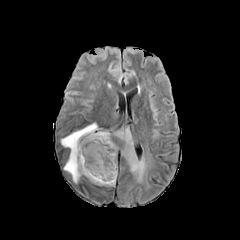
FLAIR MR image.
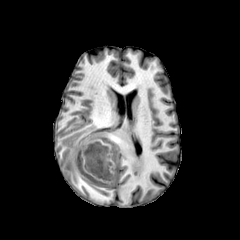
T1-weighted MR.
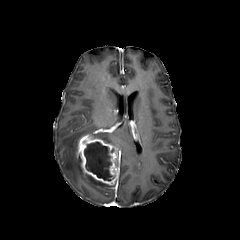
Post-contrast T1-weighted MR image.
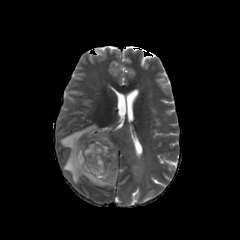
T2-weighted MRI.
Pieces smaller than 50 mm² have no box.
The peritumoral edema lies within rect(61, 123, 147, 185). The enhancing tumor appears at rect(76, 134, 119, 185). The largest necrotic tumor core region appears at rect(84, 142, 112, 180).